Axial view | Slice index 118 | Head
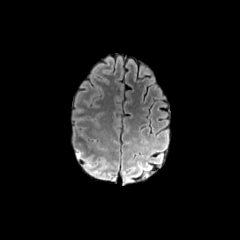
FLAIR MR image.
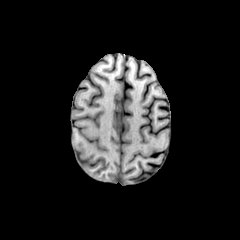
T1-weighted MR of the same slice.
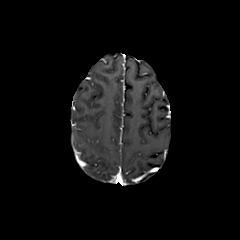
Post-contrast T1-weighted magnetic resonance of the same slice.
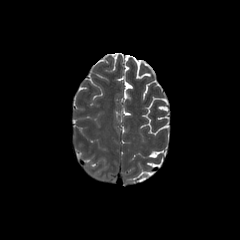
T2-weighted MR image of the same slice.
The peritumoral edema is at [75, 143, 91, 166]. The enhancing tumor is located at [75, 149, 81, 160].